Axial plane. Slice index 70. Brain.
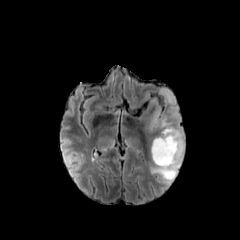
FLAIR MR image.
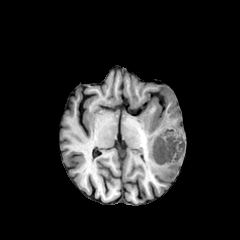
Same slice, T1-weighted MRI.
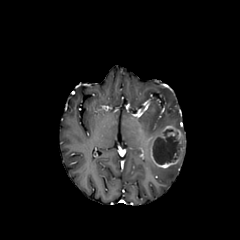
Post-contrast T1-weighted MRI.
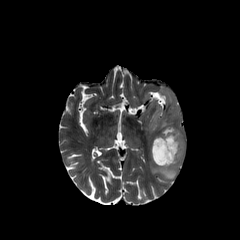
Same slice, T2-weighted MRI.
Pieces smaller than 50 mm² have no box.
peritumoral edema: <box>150,157,182,182</box>, <box>140,86,185,139</box>
necrotic tumor core: <box>153,129,182,164</box>
enhancing tumor: <box>150,125,184,168</box>